FLAIR MRI.
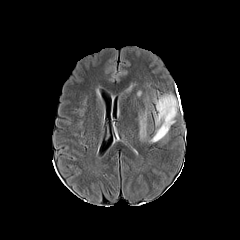
T1-weighted MR.
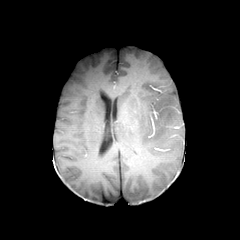
Post-contrast T1-weighted magnetic resonance.
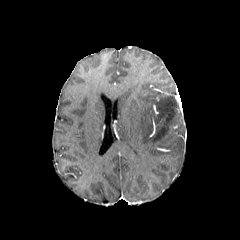
T2-weighted magnetic resonance.
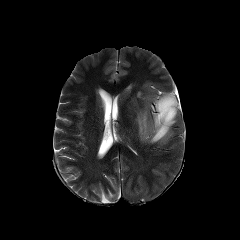
Axial plane | Brain
peritumoral edema: left=139, top=113, right=147, bottom=139; left=148, top=94, right=178, bottom=142